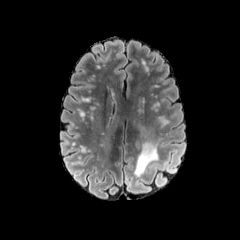
FLAIR magnetic resonance.
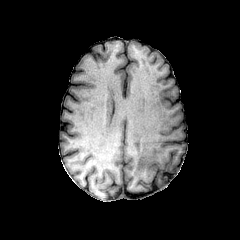
T1-weighted MR of the same slice.
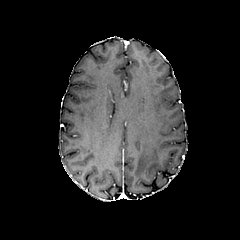
Post-contrast T1-weighted MR image.
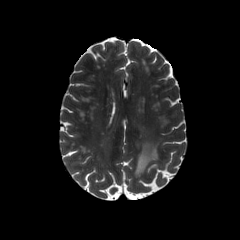
T2-weighted MR image.
240x240 | Axial view
peritumoral edema at <bbox>134, 141, 158, 176</bbox>